240x240 px, Brain, Slice 122 of 155
FLAIR MR.
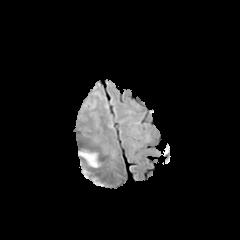
T1-weighted magnetic resonance.
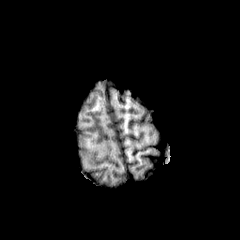
Post-contrast T1-weighted MR image.
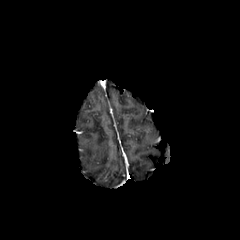
T2-weighted MRI.
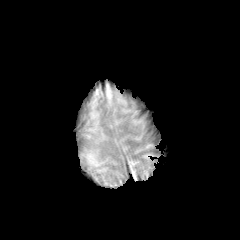
The peritumoral edema is at region(78, 151, 103, 167).